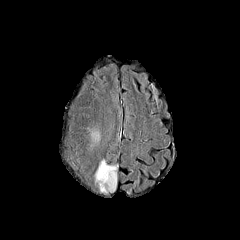
FLAIR MRI.
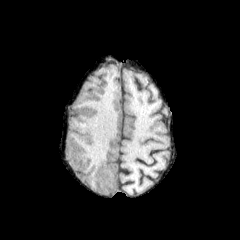
T1-weighted MRI.
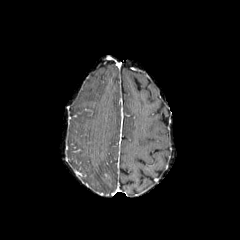
Post-contrast T1-weighted MR image.
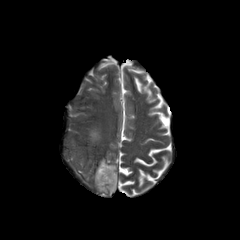
Same slice, T2-weighted MR.
Head; 240x240; Axial plane
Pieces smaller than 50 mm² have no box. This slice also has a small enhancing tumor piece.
peritumoral_edema:
  - region(91, 129, 100, 142)
  - region(95, 158, 118, 195)